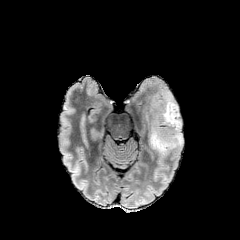
FLAIR MRI.
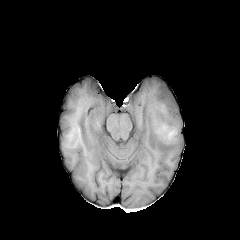
T1-weighted magnetic resonance.
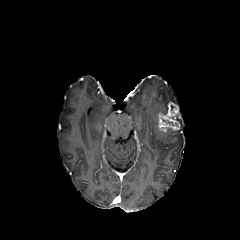
Post-contrast T1-weighted MRI.
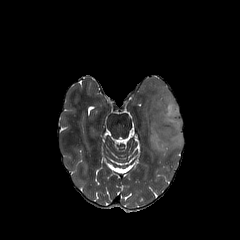
T2-weighted magnetic resonance.
Brain
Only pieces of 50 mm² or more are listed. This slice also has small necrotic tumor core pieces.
<segmentation>
  <enhancing_tumor>bbox(157, 102, 180, 132)</enhancing_tumor>
  <peritumoral_edema>bbox(149, 92, 183, 157)</peritumoral_edema>
</segmentation>